Image width 240 mm, 1.00 mm slice spacing. Axial view. Slice 85 of 155. Head.
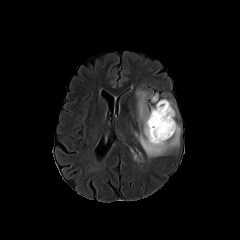
FLAIR MR image.
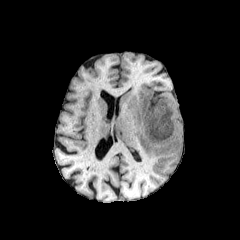
Same slice, T1-weighted MRI.
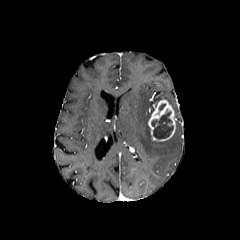
Post-contrast T1-weighted MR.
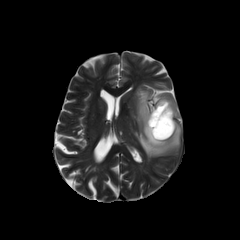
T2-weighted MR.
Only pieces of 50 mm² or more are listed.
enhancing tumor: (147, 99, 175, 141) | necrotic tumor core: (151, 110, 173, 138) | peritumoral edema: (134, 89, 180, 158), (163, 96, 176, 116)